Image covers 240 mm x 240 mm. Brain. Axial plane.
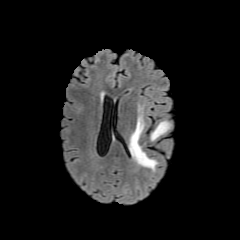
FLAIR MR.
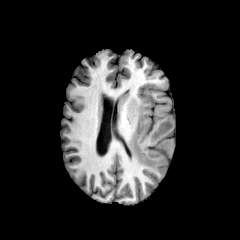
T1-weighted magnetic resonance.
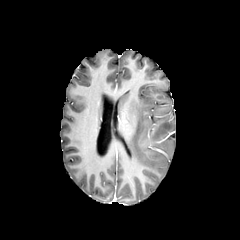
Post-contrast T1-weighted magnetic resonance.
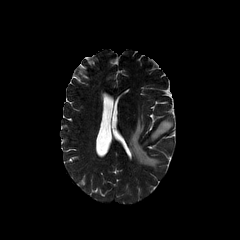
Same slice, T2-weighted MR image.
peritumoral edema = region(129, 105, 158, 169); region(150, 120, 172, 141)